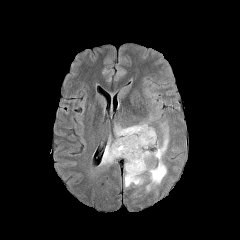
FLAIR MR.
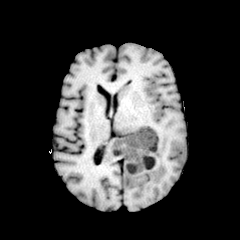
T1-weighted MRI.
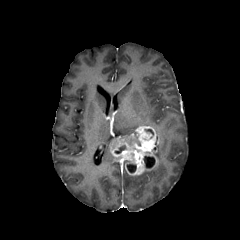
Post-contrast T1-weighted MRI.
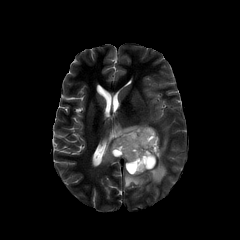
T2-weighted MRI of the same slice.
Image size 240x240; Brain
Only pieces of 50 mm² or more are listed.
{
  "necrotic_tumor_core": [
    "127,164,136,172",
    "143,156,155,168",
    "115,145,125,153"
  ],
  "peritumoral_edema": [
    "148,128,168,184",
    "101,141,115,164",
    "124,171,143,187",
    "115,123,147,137"
  ],
  "enhancing_tumor": [
    "110,126,158,175"
  ]
}